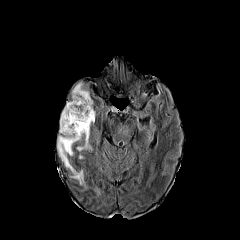
FLAIR MR image.
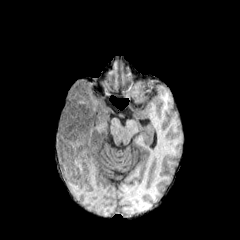
T1-weighted MRI.
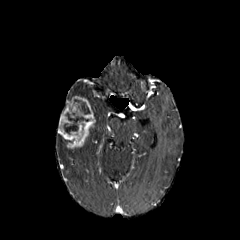
Post-contrast T1-weighted magnetic resonance of the same slice.
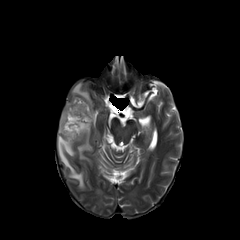
T2-weighted MRI.
Axial slice
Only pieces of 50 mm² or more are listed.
The 3 largest peritumoral edema regions are bounded by 57 134 84 186, 72 82 95 116, 76 135 91 151. The enhancing tumor is at 58 96 95 148. The 2 largest necrotic tumor core regions are bounded by 63 113 89 134, 74 99 89 114.